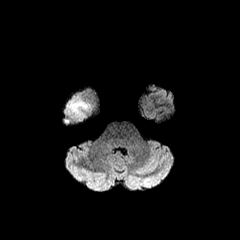
FLAIR MR image.
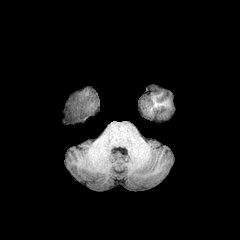
T1-weighted MRI of the same slice.
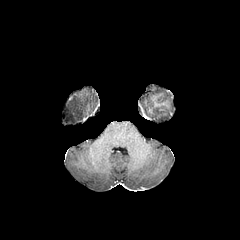
Same slice, post-contrast T1-weighted MR image.
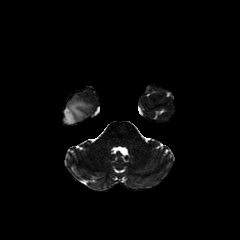
Same slice, T2-weighted MRI.
Axial plane. Head.
peritumoral edema: [x1=63, y1=99, x2=89, y2=124]